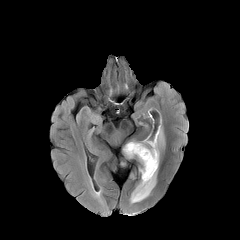
FLAIR MR image.
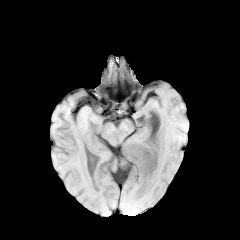
Same slice, T1-weighted MR.
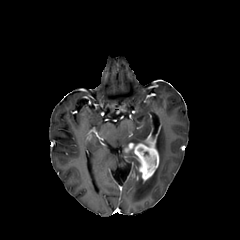
Post-contrast T1-weighted magnetic resonance.
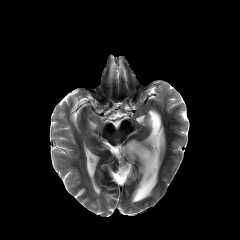
Same slice, T2-weighted MR image.
Axial slice. Image size 240x240.
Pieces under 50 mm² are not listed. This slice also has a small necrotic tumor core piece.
<segmentation>
  <enhancing_tumor>l=124, t=134, r=158, b=181</enhancing_tumor>
  <peritumoral_edema>l=123, t=140, r=143, b=158; l=130, t=166, r=158, b=203; l=156, t=126, r=165, b=164</peritumoral_edema>
</segmentation>